FLAIR MR image.
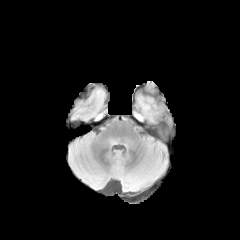
T1-weighted magnetic resonance.
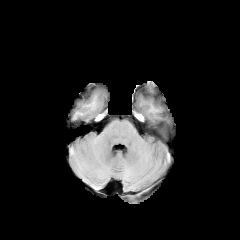
Post-contrast T1-weighted MR.
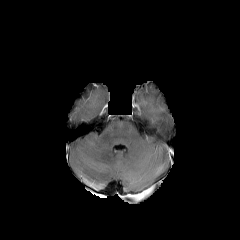
T2-weighted MR.
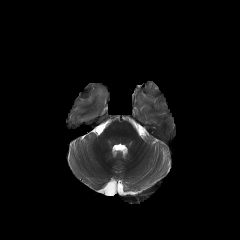
peritumoral edema: bounding box <box>96,89,103,101</box>